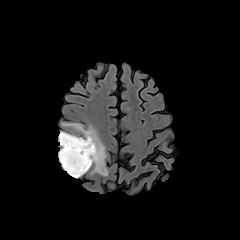
FLAIR MR.
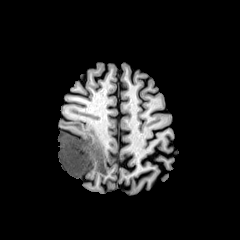
T1-weighted MR.
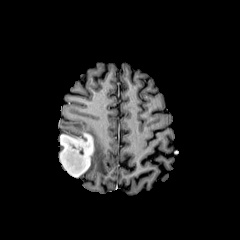
Post-contrast T1-weighted magnetic resonance.
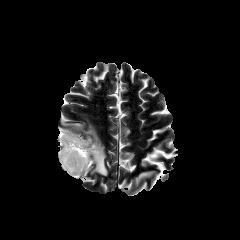
T2-weighted magnetic resonance.
Axial slice; Head
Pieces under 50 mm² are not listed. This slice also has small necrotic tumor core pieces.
enhancing tumor — 59,133,94,177
peritumoral edema — 58,122,108,176